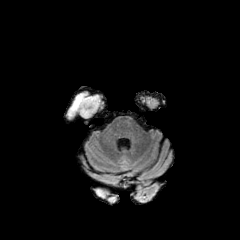
FLAIR MRI.
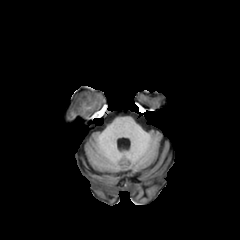
T1-weighted MR.
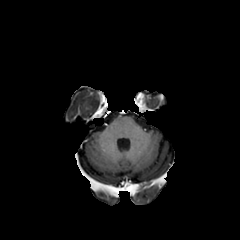
Same slice, post-contrast T1-weighted MR image.
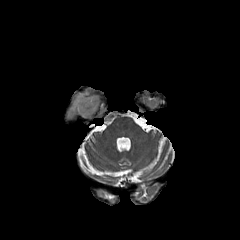
T2-weighted magnetic resonance.
240x240
• peritumoral edema: bbox(67, 93, 99, 118)